FLAIR MRI.
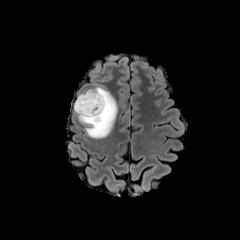
T1-weighted MR.
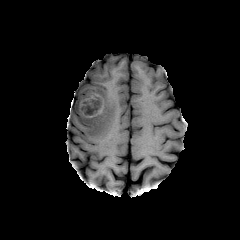
Post-contrast T1-weighted MR.
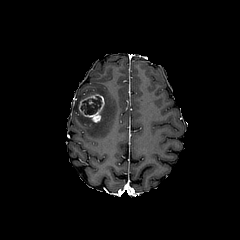
T2-weighted MR.
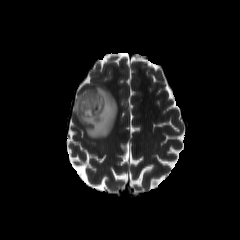
Axial slice. Brain. 240x240 px.
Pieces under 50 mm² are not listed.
enhancing tumor — 78,94,104,122
necrotic tumor core — 81,96,101,114
peritumoral edema — 74,86,117,138